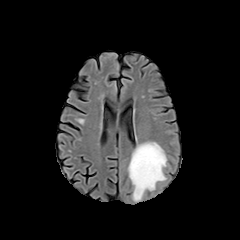
FLAIR MR image.
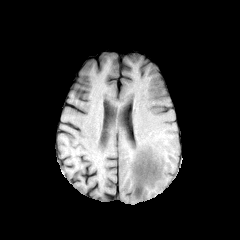
Same slice, T1-weighted MR image.
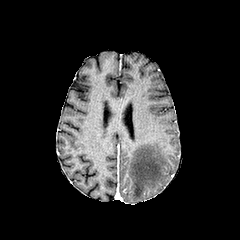
Post-contrast T1-weighted magnetic resonance.
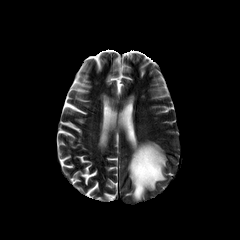
T2-weighted MRI.
Brain.
peritumoral_edema:
  - bbox(128, 142, 166, 200)